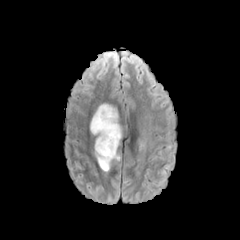
FLAIR MRI.
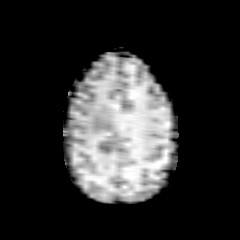
T1-weighted MR.
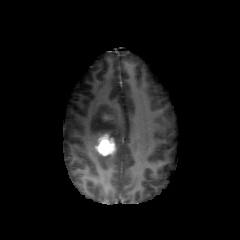
Post-contrast T1-weighted magnetic resonance of the same slice.
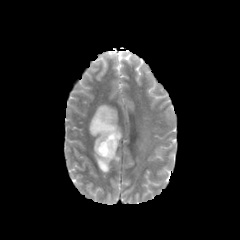
T2-weighted MR image of the same slice.
Head
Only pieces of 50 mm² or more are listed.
The enhancing tumor lies within bbox=[95, 134, 116, 155]. The largest peritumoral edema region is bounded by bbox=[90, 103, 122, 171].